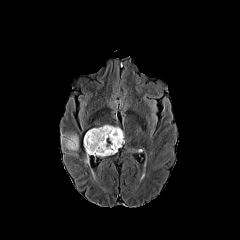
FLAIR MRI.
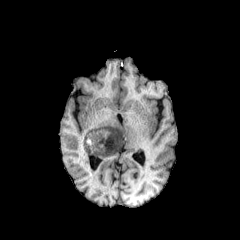
T1-weighted MRI.
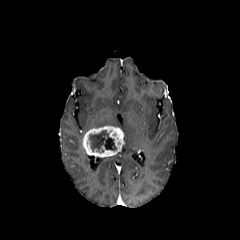
Post-contrast T1-weighted MR image.
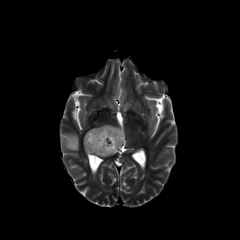
T2-weighted MR image.
Head.
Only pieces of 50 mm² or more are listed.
enhancing tumor: 83 126 124 157 | peritumoral edema: 61 132 78 155 | necrotic tumor core: 89 130 116 152